FLAIR MR.
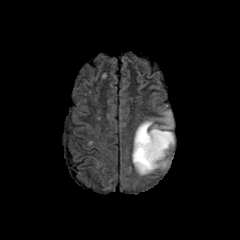
T1-weighted MR.
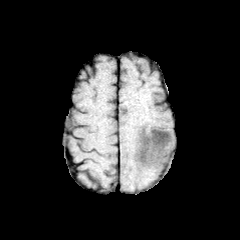
Post-contrast T1-weighted MRI.
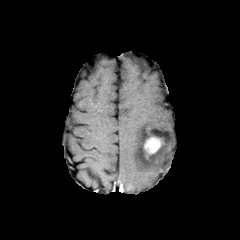
T2-weighted magnetic resonance.
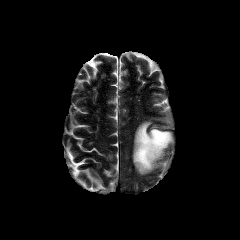
Head
<segmentation>
  <enhancing_tumor>[x1=143, y1=135, x2=164, y2=158]</enhancing_tumor>
  <peritumoral_edema>[x1=132, y1=111, x2=174, y2=175]</peritumoral_edema>
</segmentation>